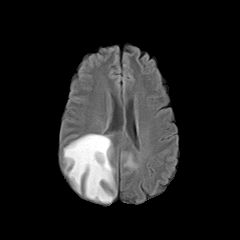
FLAIR MR.
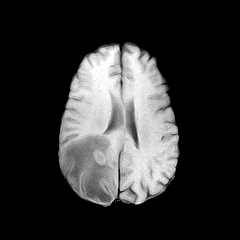
T1-weighted MRI of the same slice.
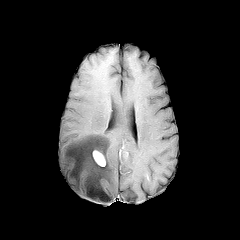
Post-contrast T1-weighted MRI.
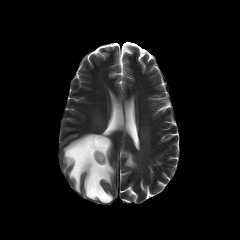
T2-weighted MRI.
Brain
2 peritumoral edema regions appear at [63,134,114,202], [125,154,135,167]. The enhancing tumor is located at [93,150,105,166].